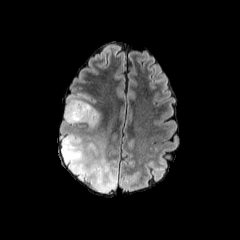
FLAIR magnetic resonance.
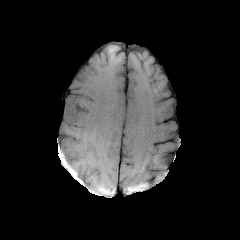
Same slice, T1-weighted MR image.
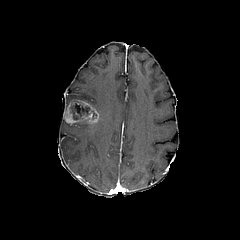
Post-contrast T1-weighted MRI.
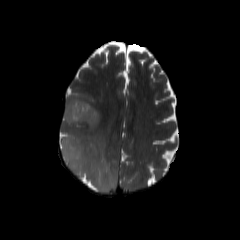
T2-weighted MR image.
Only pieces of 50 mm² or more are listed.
enhancing_tumor:
  - 64, 98, 99, 124
necrotic_tumor_core:
  - 70, 102, 90, 119
peritumoral_edema:
  - 61, 134, 117, 191
  - 65, 94, 102, 127